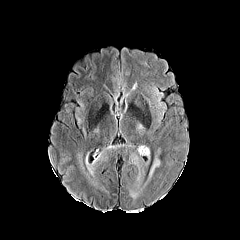
FLAIR magnetic resonance.
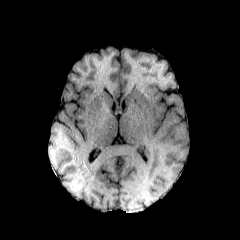
Same slice, T1-weighted MR image.
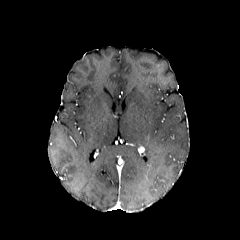
Post-contrast T1-weighted MR image of the same slice.
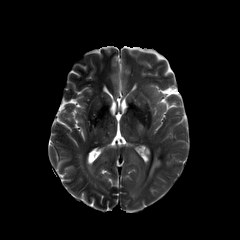
T2-weighted magnetic resonance of the same slice.
Axial slice; Head
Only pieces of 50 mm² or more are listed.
peritumoral edema at box(149, 157, 160, 176); box(131, 154, 138, 164); box(144, 146, 149, 157)